Axial slice
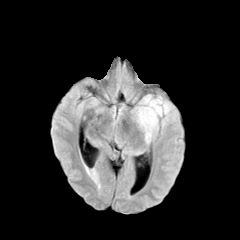
FLAIR MR image.
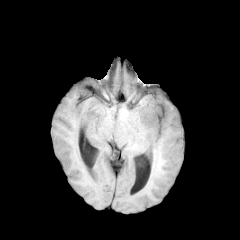
T1-weighted MR image.
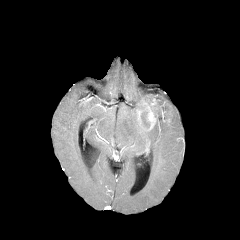
Same slice, post-contrast T1-weighted magnetic resonance.
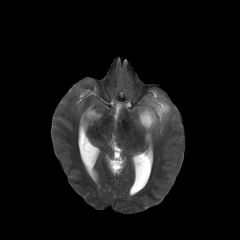
Same slice, T2-weighted MR image.
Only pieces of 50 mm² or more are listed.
The peritumoral edema appears at <box>138,97,170,142</box>. The largest enhancing tumor region is located at <box>143,105,157,129</box>.